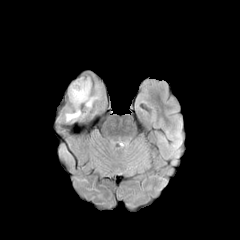
FLAIR MRI.
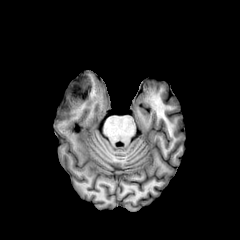
T1-weighted MRI.
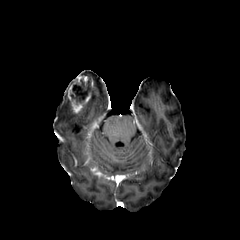
Post-contrast T1-weighted MR image.
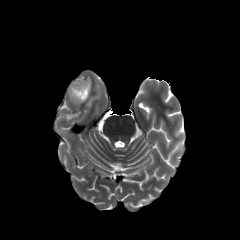
T2-weighted MR.
necrotic tumor core at box(70, 81, 92, 104)
peritumoral edema at box(66, 112, 80, 121); box(87, 97, 95, 107)
enhancing tumor at box(73, 76, 93, 90); box(68, 86, 91, 112)